Slice 83/155. Axial view.
FLAIR MR image.
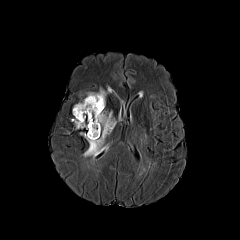
T1-weighted MR image.
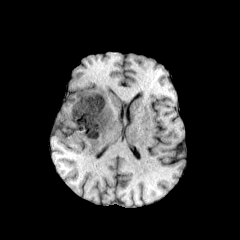
Post-contrast T1-weighted MR image.
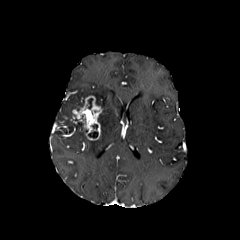
T2-weighted MR.
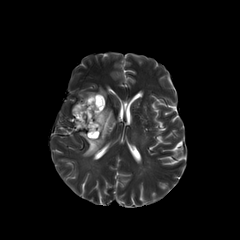
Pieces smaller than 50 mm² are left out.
Annotated regions:
* enhancing tumor: <bbox>71, 95, 102, 140</bbox>
* necrotic tumor core: <bbox>88, 131, 98, 137</bbox>
* peritumoral edema: <bbox>80, 87, 116, 158</bbox>